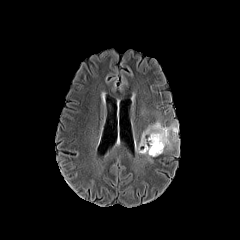
FLAIR MRI.
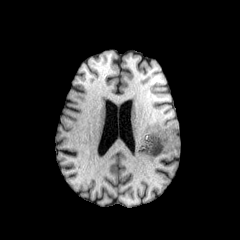
T1-weighted MR.
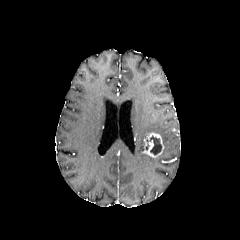
Post-contrast T1-weighted MR.
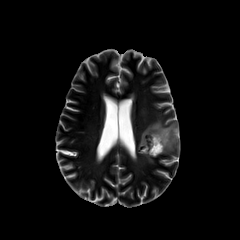
Same slice, T2-weighted MRI.
Axial slice
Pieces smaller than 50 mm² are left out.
Findings:
• necrotic tumor core: box(150, 136, 161, 154)
• peritumoral edema: box(139, 121, 179, 152)
• enhancing tumor: box(138, 132, 164, 157)